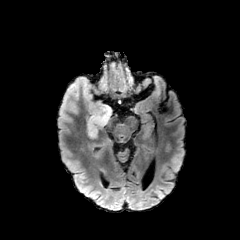
FLAIR MR image.
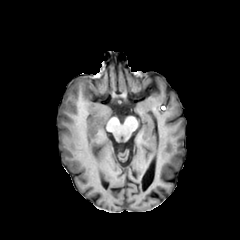
T1-weighted MRI.
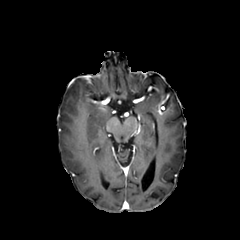
Post-contrast T1-weighted MR image.
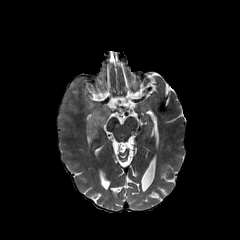
Same slice, T2-weighted MRI.
Axial slice, Brain
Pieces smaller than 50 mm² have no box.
Annotated regions:
* peritumoral edema: [59, 77, 112, 140]